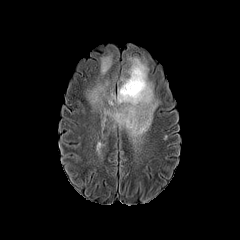
FLAIR MR.
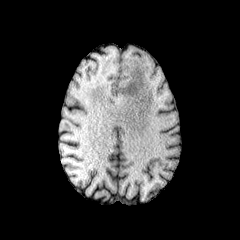
T1-weighted MR image of the same slice.
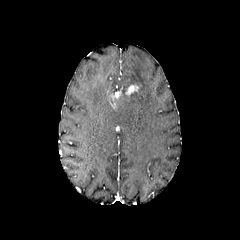
Post-contrast T1-weighted MRI.
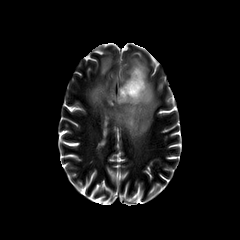
Same slice, T2-weighted magnetic resonance.
Axial view
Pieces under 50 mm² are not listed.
The largest enhancing tumor region appears at {"x1": 125, "y1": 84, "x2": 138, "y2": 95}. 2 peritumoral edema regions are located at {"x1": 89, "y1": 57, "x2": 157, "y2": 140}, {"x1": 101, "y1": 57, "x2": 111, "y2": 74}.